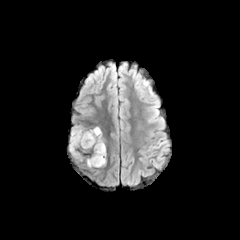
FLAIR MR image.
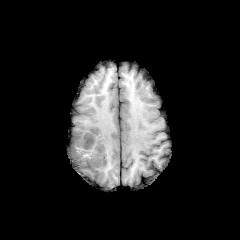
T1-weighted MR image of the same slice.
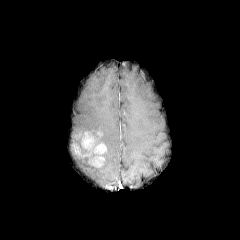
Post-contrast T1-weighted MRI.
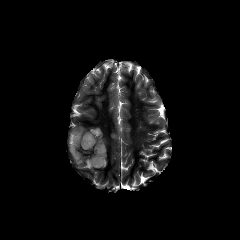
Same slice, T2-weighted MR image.
Image size 240x240 | Brain
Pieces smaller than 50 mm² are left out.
enhancing tumor: 71:130:106:167 | peritumoral edema: 69:128:84:153, 90:127:101:137, 75:139:86:153